Image size 240x240 | Head
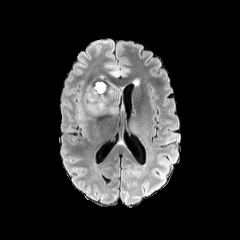
FLAIR MRI.
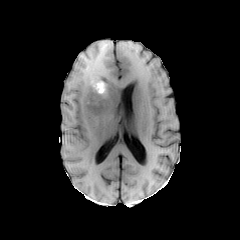
T1-weighted MRI.
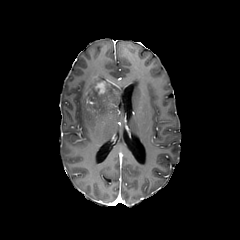
Same slice, post-contrast T1-weighted MR.
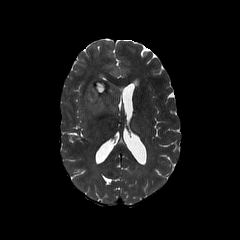
T2-weighted MRI.
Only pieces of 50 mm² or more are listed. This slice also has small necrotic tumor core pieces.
The largest peritumoral edema region is bounded by rect(82, 76, 120, 119). The enhancing tumor is at rect(86, 81, 106, 103).